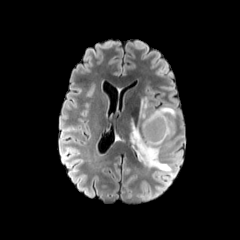
FLAIR MR.
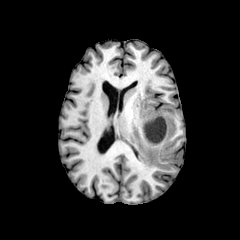
T1-weighted MR image.
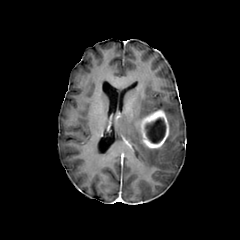
Post-contrast T1-weighted MR image.
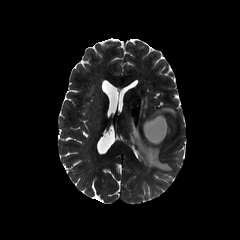
Same slice, T2-weighted MR image.
{
  "necrotic_tumor_core": [
    "(145,118,165,143)"
  ],
  "peritumoral_edema": [
    "(130,97,176,171)"
  ],
  "enhancing_tumor": [
    "(140,109,169,149)"
  ]
}